FLAIR MR.
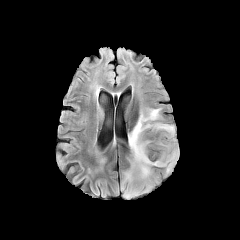
T1-weighted MRI.
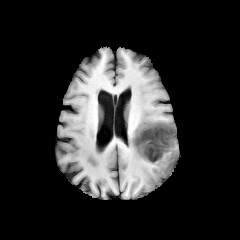
Post-contrast T1-weighted MR.
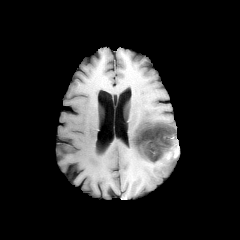
T2-weighted MR image.
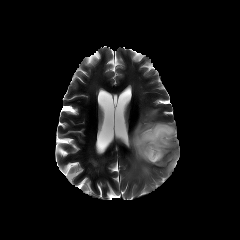
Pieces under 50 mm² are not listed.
The necrotic tumor core lies within [137,126,176,161]. The largest peritumoral edema region is at [128,108,177,178]. The enhancing tumor is located at [136,125,179,162].